Head.
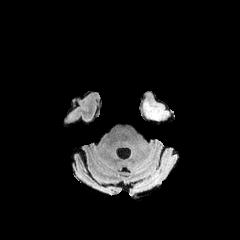
FLAIR MR.
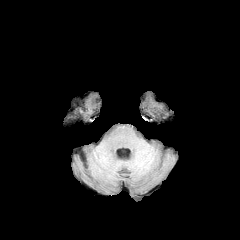
T1-weighted magnetic resonance.
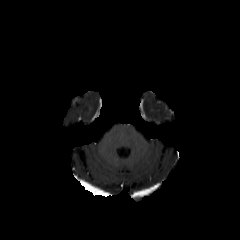
Post-contrast T1-weighted MR.
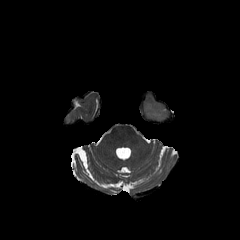
T2-weighted MRI.
- peritumoral edema: 143:102:163:120